Slice index 33, Head
FLAIR MR image.
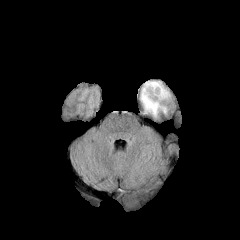
T1-weighted magnetic resonance.
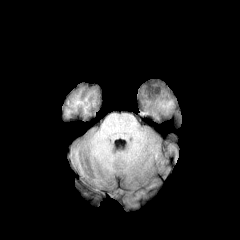
Post-contrast T1-weighted MR.
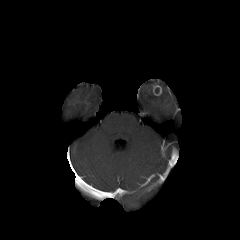
T2-weighted MR.
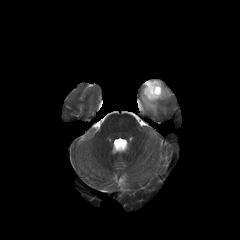
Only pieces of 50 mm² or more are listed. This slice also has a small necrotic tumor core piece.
{"enhancing_tumor": ["bbox(142, 83, 162, 95)"], "peritumoral_edema": ["bbox(140, 81, 170, 117)"]}